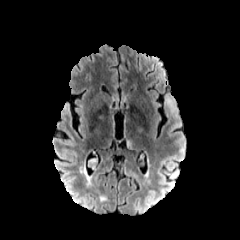
FLAIR MR image.
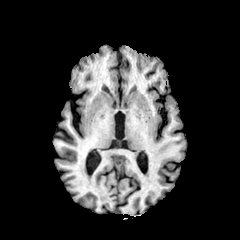
Same slice, T1-weighted magnetic resonance.
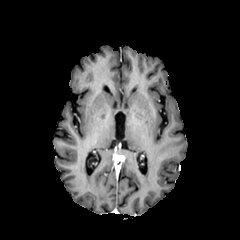
Same slice, post-contrast T1-weighted magnetic resonance.
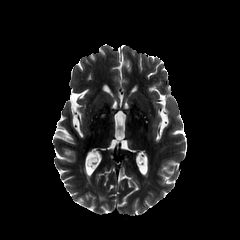
Same slice, T2-weighted magnetic resonance.
240x240
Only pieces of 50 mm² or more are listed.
peritumoral edema at {"x1": 165, "y1": 99, "x2": 176, "y2": 112}